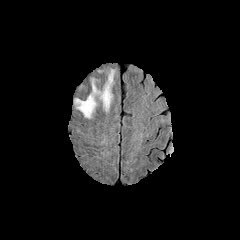
FLAIR MR.
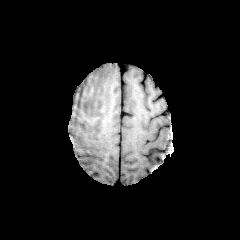
Same slice, T1-weighted MR image.
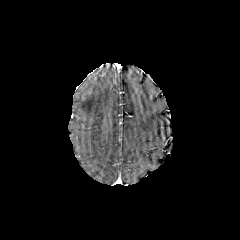
Post-contrast T1-weighted MR image of the same slice.
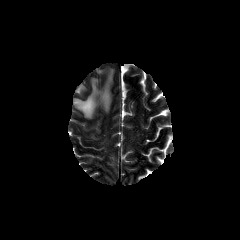
Same slice, T2-weighted MR.
Brain. Axial slice.
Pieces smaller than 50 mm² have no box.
The largest peritumoral edema region is at left=73, top=69, right=114, bottom=118.